FLAIR magnetic resonance.
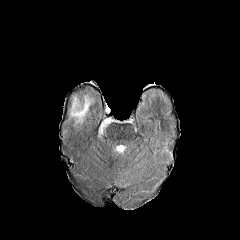
T1-weighted MRI.
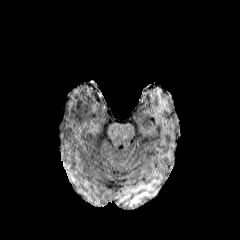
Post-contrast T1-weighted MR image.
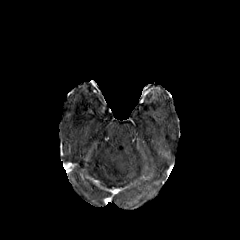
T2-weighted MR.
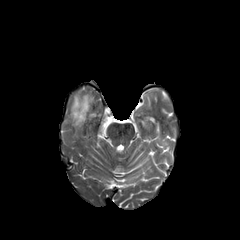
Axial view | Brain | 240x240 px
peritumoral edema at [71,96,90,122]